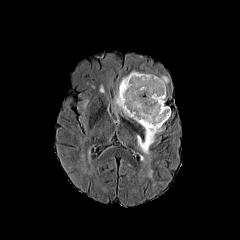
FLAIR MR image.
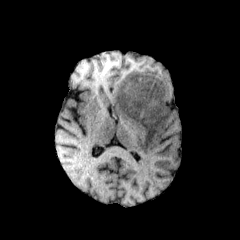
T1-weighted MR image.
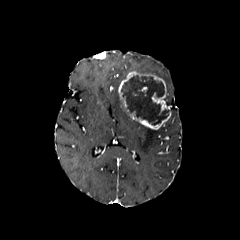
Post-contrast T1-weighted MR image.
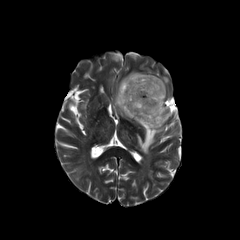
Same slice, T2-weighted MR image.
Head
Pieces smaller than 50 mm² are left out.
Segmented structures:
- necrotic tumor core: 121,75,168,125
- peritumoral edema: 114,89,122,110; 137,127,162,154
- enhancing tumor: 118,71,171,129